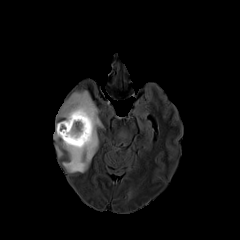
FLAIR MR image.
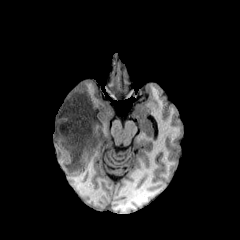
T1-weighted MR of the same slice.
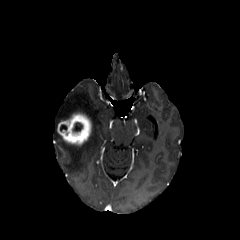
Same slice, post-contrast T1-weighted MRI.
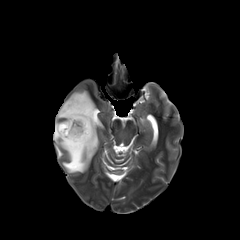
T2-weighted MRI.
240x240
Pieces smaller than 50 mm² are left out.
The largest necrotic tumor core region appears at left=73, top=123, right=82, bottom=131. 2 peritumoral edema regions are bounded by left=53, top=90, right=102, bottom=173; left=56, top=145, right=62, bottom=157. The enhancing tumor is at left=57, top=112, right=91, bottom=145.